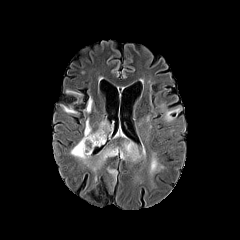
FLAIR MR image.
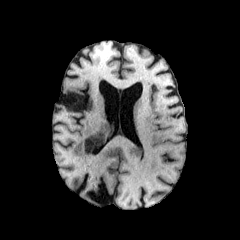
Same slice, T1-weighted MRI.
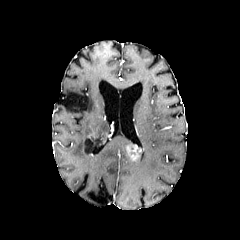
Post-contrast T1-weighted MR image.
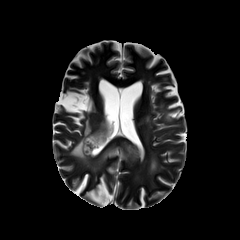
T2-weighted magnetic resonance of the same slice.
Image size 240x240; Brain; Axial slice
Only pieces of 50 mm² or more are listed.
The enhancing tumor is at box=[126, 144, 141, 160]. The largest necrotic tumor core region is at box=[84, 139, 92, 153]. 10 peritumoral edema regions are bounded by box=[85, 96, 92, 112]; box=[150, 152, 164, 173]; box=[120, 142, 132, 160]; box=[164, 111, 174, 120]; box=[60, 104, 76, 114]; box=[71, 119, 109, 163]; box=[106, 166, 117, 191]; box=[93, 147, 118, 170]; box=[132, 149, 145, 162]; box=[66, 90, 82, 95].